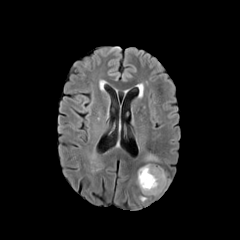
FLAIR MR image.
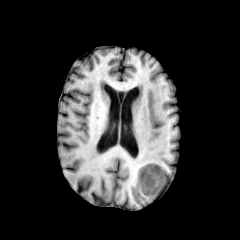
T1-weighted MR.
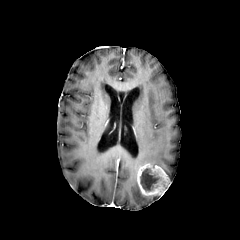
Post-contrast T1-weighted MRI.
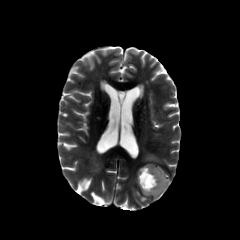
T2-weighted MR image.
Axial slice; Brain; 240x240 px
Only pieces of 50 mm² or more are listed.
peritumoral edema: 145 153 159 162
enhancing tumor: 137 163 169 195
necrotic tumor core: 140 168 160 190